FLAIR magnetic resonance.
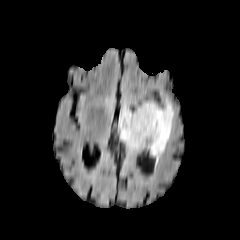
T1-weighted MR image.
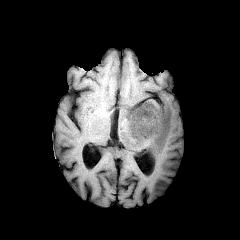
Post-contrast T1-weighted MR image.
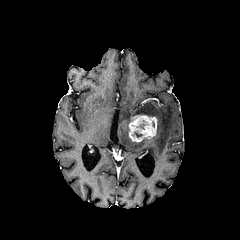
T2-weighted MR image.
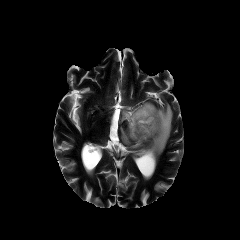
Brain
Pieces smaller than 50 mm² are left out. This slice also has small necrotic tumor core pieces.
{"enhancing_tumor": ["left=128, top=114, right=157, bottom=142"], "peritumoral_edema": ["left=119, top=100, right=176, bottom=161"]}